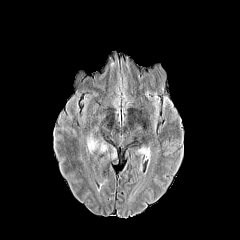
FLAIR MR.
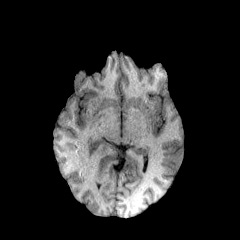
Same slice, T1-weighted MR.
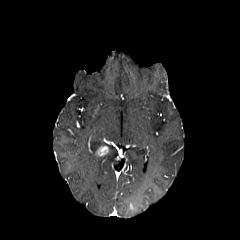
Same slice, post-contrast T1-weighted magnetic resonance.
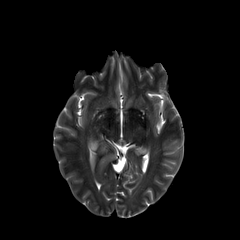
T2-weighted MR of the same slice.
Head
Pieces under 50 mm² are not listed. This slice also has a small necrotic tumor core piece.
Segmented structures:
- enhancing tumor: box=[97, 146, 107, 154]
- peritumoral edema: box=[87, 128, 116, 183]